FLAIR MR.
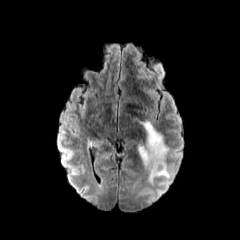
T1-weighted MRI.
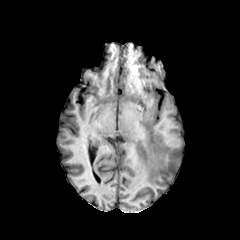
Post-contrast T1-weighted MRI.
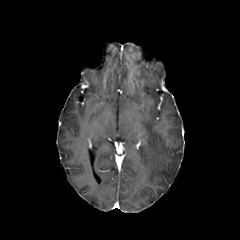
T2-weighted MR.
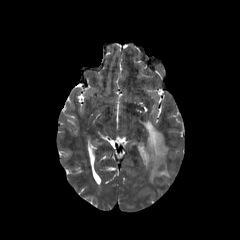
Axial slice | Brain
peritumoral edema: bounding box box=[138, 121, 170, 183]